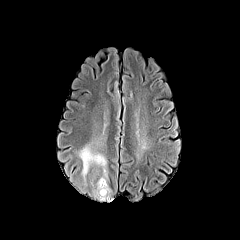
FLAIR MR image.
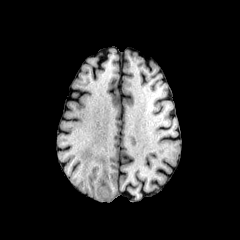
T1-weighted MRI.
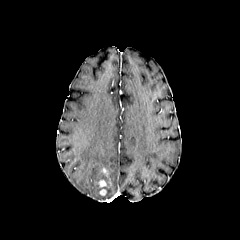
Post-contrast T1-weighted MR image.
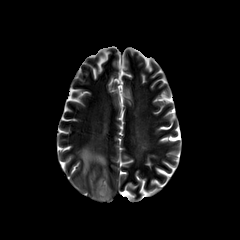
T2-weighted magnetic resonance.
Axial plane | 240x240 | Head
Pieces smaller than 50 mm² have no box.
{
  "peritumoral_edema": [
    "(79, 146, 111, 200)"
  ],
  "enhancing_tumor": [
    "(98, 180, 106, 187)"
  ]
}